Brain, Slice 80/155, Axial slice
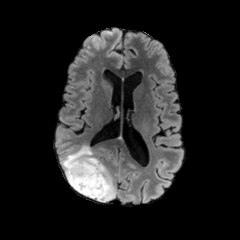
FLAIR MR image.
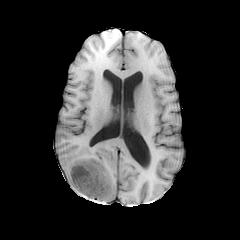
Same slice, T1-weighted MR.
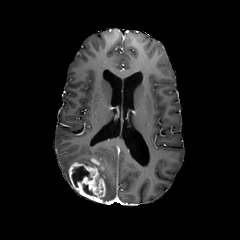
Same slice, post-contrast T1-weighted magnetic resonance.
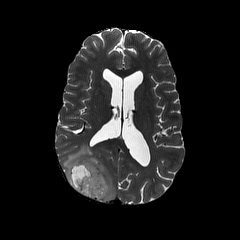
T2-weighted MRI of the same slice.
Annotated regions:
• peritumoral edema: 62 145 116 202
• enhancing tumor: 69 158 106 202
• necrotic tumor core: 83 184 96 196, 72 166 92 187